FLAIR magnetic resonance.
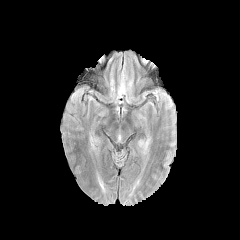
T1-weighted MRI.
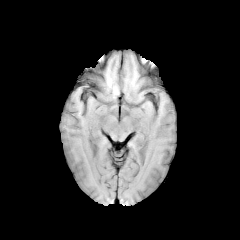
Post-contrast T1-weighted magnetic resonance.
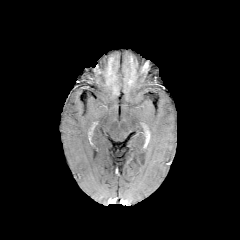
T2-weighted MR image.
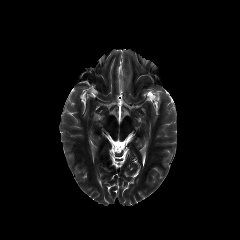
Axial view; Brain
- peritumoral edema: 119,72,125,90